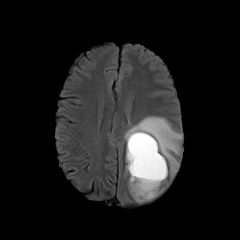
FLAIR MRI.
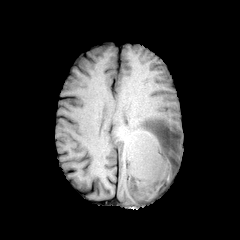
T1-weighted MR of the same slice.
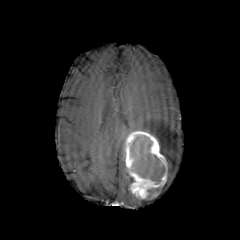
Post-contrast T1-weighted MR.
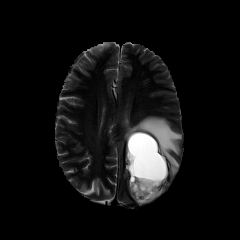
T2-weighted MR image of the same slice.
240x240 px; Brain
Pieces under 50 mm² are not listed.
<segmentation>
  <peritumoral_edema>130, 191, 150, 203; 124, 116, 182, 176</peritumoral_edema>
  <necrotic_tumor_core>130, 135, 165, 184</necrotic_tumor_core>
  <enhancing_tumor>125, 131, 167, 199</enhancing_tumor>
</segmentation>